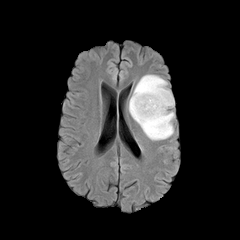
FLAIR MR image.
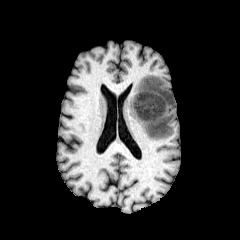
T1-weighted MRI.
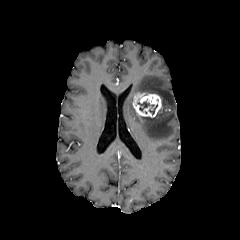
Post-contrast T1-weighted MRI.
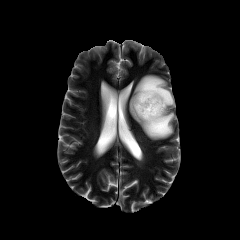
Same slice, T2-weighted MR image.
Axial view. Head.
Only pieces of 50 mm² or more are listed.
Annotated regions:
• enhancing tumor: {"x1": 132, "y1": 92, "x2": 162, "y2": 118}
• necrotic tumor core: {"x1": 137, "y1": 102, "x2": 154, "y2": 111}
• peritumoral edema: {"x1": 129, "y1": 75, "x2": 174, "y2": 140}